Brain; 240x240 px
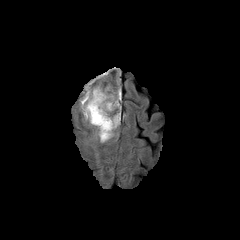
FLAIR MRI.
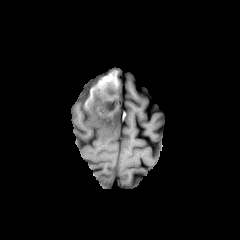
T1-weighted magnetic resonance.
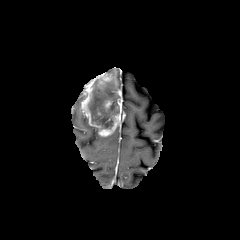
Post-contrast T1-weighted MRI.
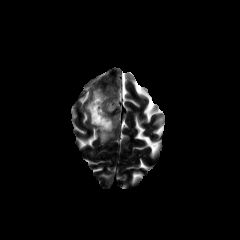
Same slice, T2-weighted MR.
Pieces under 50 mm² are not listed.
peritumoral edema: bounding box [96,129,114,143]
necrotic tumor core: bounding box [88,79,119,128]
enhancing tumor: bounding box [104,100,112,109], [80,72,121,136]